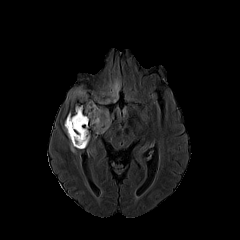
FLAIR MR.
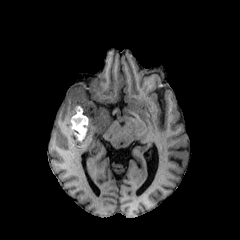
Same slice, T1-weighted MR.
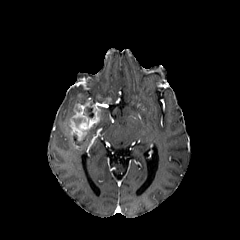
Post-contrast T1-weighted MR.
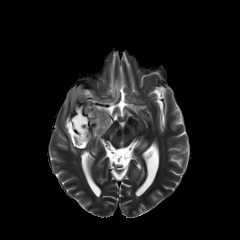
Same slice, T2-weighted MR image.
Axial slice; Image size 240x240
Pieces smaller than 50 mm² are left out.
Segmented structures:
- necrotic tumor core: 77, 97, 86, 104; 85, 107, 93, 117; 73, 134, 86, 146; 73, 118, 82, 126
- peritumoral edema: 66, 87, 86, 103; 64, 112, 76, 154; 107, 78, 120, 101; 92, 106, 110, 132
- enhancing tumor: 68, 94, 101, 148